Slice index 122; Image width 240 mm, 1.00 mm slice spacing
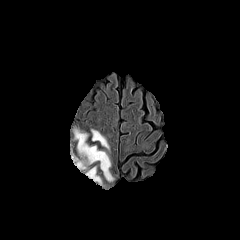
FLAIR MR.
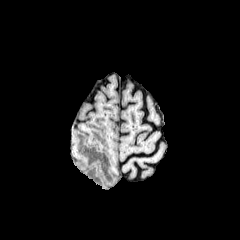
T1-weighted MRI.
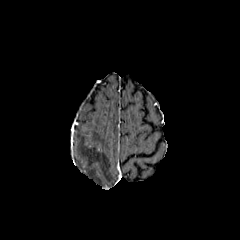
Post-contrast T1-weighted magnetic resonance of the same slice.
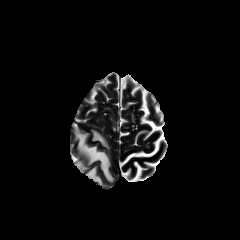
T2-weighted MR.
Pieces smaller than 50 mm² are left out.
The 4 largest peritumoral edema regions are located at [86, 167, 102, 185], [75, 130, 113, 181], [76, 161, 85, 169], [91, 129, 109, 149].